Slice 60 of 155; Brain
FLAIR MR.
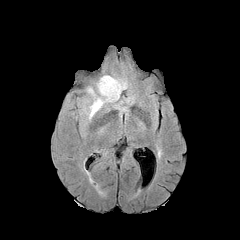
T1-weighted MR.
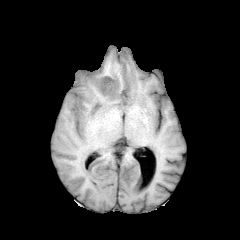
Post-contrast T1-weighted MRI.
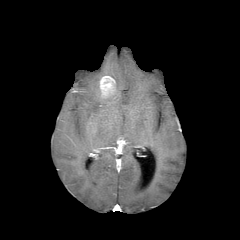
T2-weighted magnetic resonance.
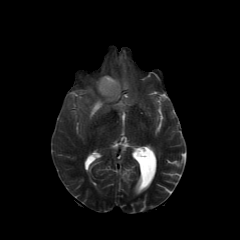
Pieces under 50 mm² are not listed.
enhancing tumor at (left=99, top=76, right=116, bottom=97)
peritumoral edema at (left=89, top=79, right=126, bottom=118)